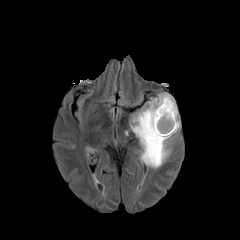
FLAIR MRI.
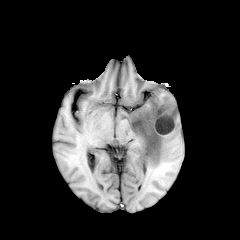
T1-weighted magnetic resonance.
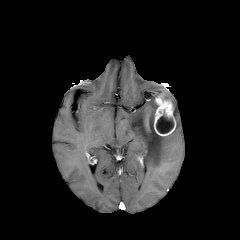
Post-contrast T1-weighted magnetic resonance.
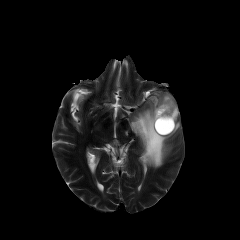
T2-weighted MRI of the same slice.
240x240
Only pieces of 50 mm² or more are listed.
Findings:
* necrotic tumor core: {"x1": 156, "y1": 115, "x2": 173, "y2": 133}
* enhancing tumor: {"x1": 154, "y1": 95, "x2": 176, "y2": 136}, {"x1": 144, "y1": 111, "x2": 150, "y2": 130}
* peritumoral edema: {"x1": 130, "y1": 92, "x2": 180, "y2": 168}